FLAIR MR image.
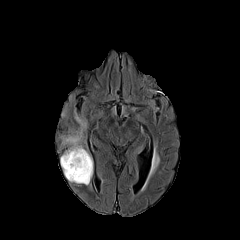
T1-weighted MR image.
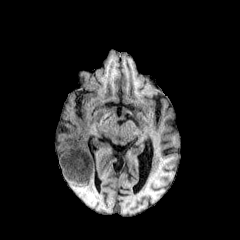
Post-contrast T1-weighted MR.
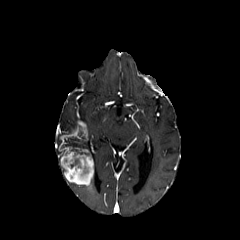
T2-weighted magnetic resonance.
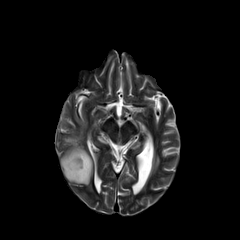
Head; 240x240 px
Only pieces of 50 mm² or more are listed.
necrotic tumor core: <box>61,136,87,154</box> | enhancing tumor: <box>58,120,93,185</box> | peritumoral edema: <box>75,112,87,124</box>